FLAIR magnetic resonance.
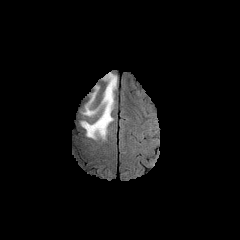
T1-weighted magnetic resonance.
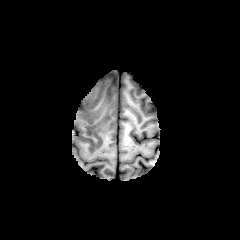
Post-contrast T1-weighted MRI.
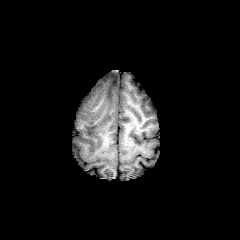
T2-weighted MRI.
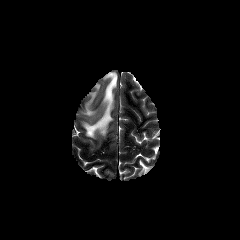
Head
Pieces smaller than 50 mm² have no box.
Segmented structures:
- peritumoral edema: <bbox>82, 72, 117, 138</bbox>, <bbox>84, 92, 95, 116</bbox>